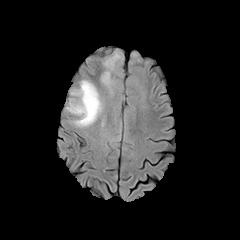
FLAIR magnetic resonance.
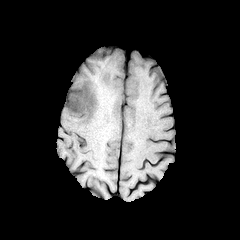
T1-weighted magnetic resonance of the same slice.
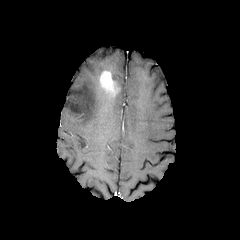
Post-contrast T1-weighted MR.
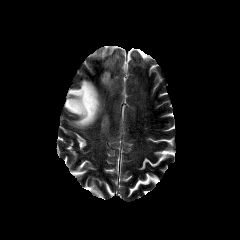
T2-weighted MR of the same slice.
Brain
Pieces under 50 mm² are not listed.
peritumoral edema: l=66, t=80, r=102, b=128; l=104, t=52, r=120, b=71 | enhancing tumor: l=100, t=71, r=118, b=94